Brain, Slice 131/155, Axial view
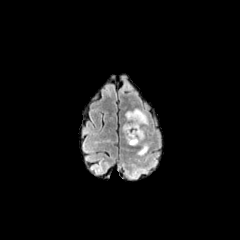
FLAIR magnetic resonance.
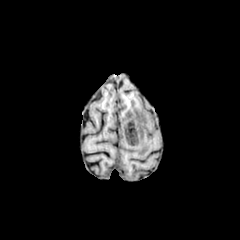
T1-weighted magnetic resonance.
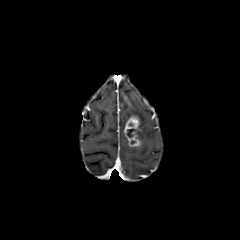
Post-contrast T1-weighted MR image of the same slice.
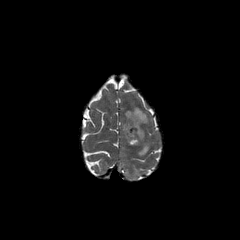
T2-weighted MRI.
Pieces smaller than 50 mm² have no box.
enhancing tumor at 124 115 141 146
necrotic tumor core at 127 129 135 137
peritumoral edema at 122 107 149 155